FLAIR magnetic resonance.
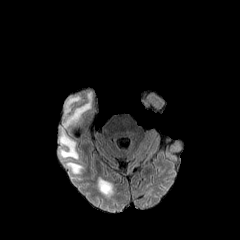
T1-weighted magnetic resonance.
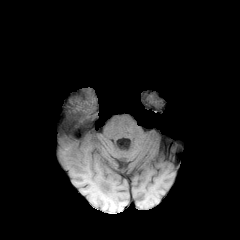
Post-contrast T1-weighted MR image.
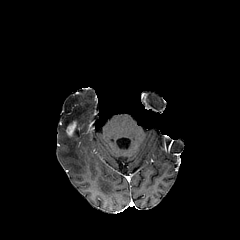
T2-weighted MR image.
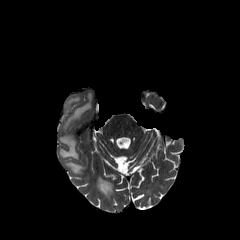
Image size 240x240
{
  "peritumoral_edema": [
    "[98,177,113,195]",
    "[63,92,91,128]",
    "[66,162,84,173]",
    "[60,135,78,159]"
  ],
  "enhancing_tumor": [
    "[67,121,76,136]"
  ]
}